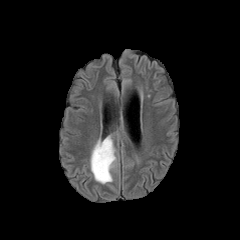
FLAIR magnetic resonance.
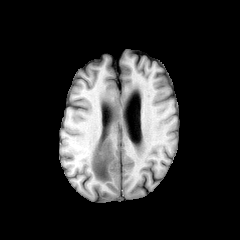
Same slice, T1-weighted MRI.
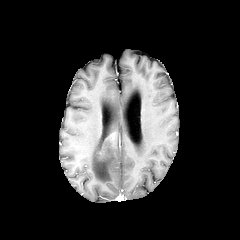
Post-contrast T1-weighted MR image of the same slice.
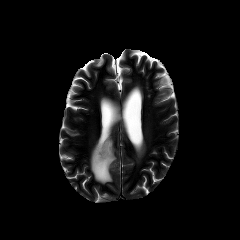
T2-weighted magnetic resonance.
Image size 240x240, Head
The peritumoral edema is located at [90, 135, 116, 183].